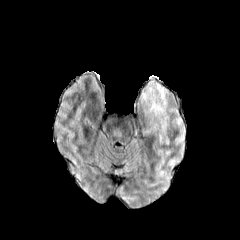
FLAIR MR.
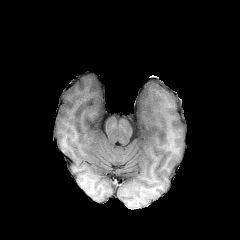
T1-weighted MRI of the same slice.
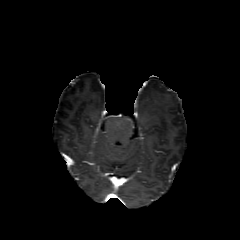
Same slice, post-contrast T1-weighted MR image.
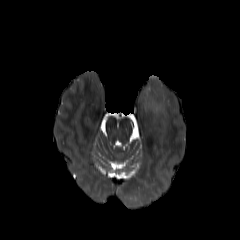
T2-weighted MR image.
Brain
peritumoral_edema:
  - bbox(143, 87, 165, 118)